Image width 240 mm | Slice 67 of 155 | Brain
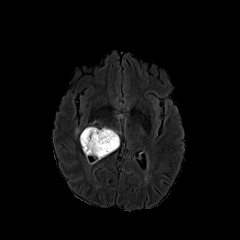
FLAIR magnetic resonance.
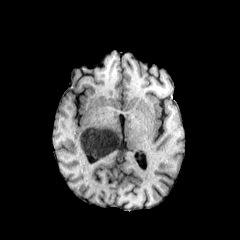
T1-weighted MRI.
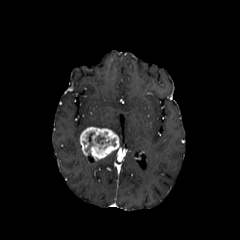
Same slice, post-contrast T1-weighted MRI.
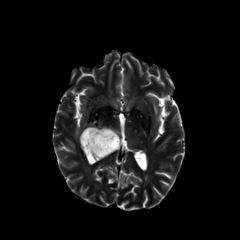
Same slice, T2-weighted MR image.
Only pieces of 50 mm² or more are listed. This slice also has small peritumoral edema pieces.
enhancing tumor: bounding box (left=80, top=127, right=119, bottom=164)
necrotic tumor core: bounding box (left=86, top=132, right=94, bottom=151)